FLAIR MR image.
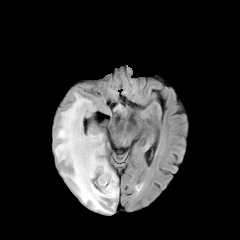
T1-weighted magnetic resonance.
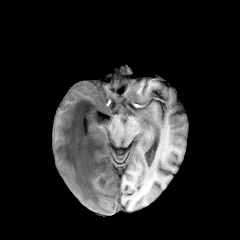
Post-contrast T1-weighted MR.
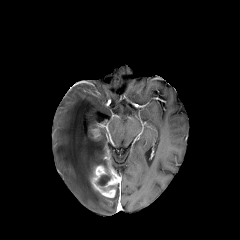
T2-weighted MR.
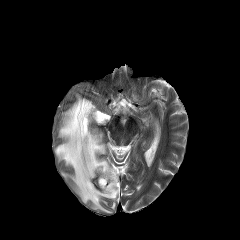
Image size 240x240, Brain
- peritumoral edema: x1=54 y1=92 x2=118 y2=213
- enhancing tumor: x1=90 y1=146 x2=120 y2=197, x1=91 y1=128 x2=100 y2=139
- necrotic tumor core: x1=97 y1=175 x2=110 y2=185